240x240 px. Brain.
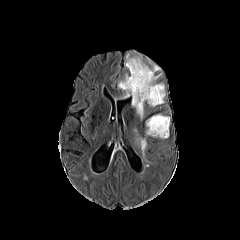
FLAIR MRI.
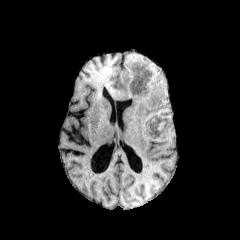
T1-weighted MR.
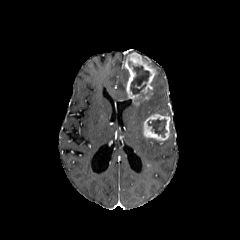
Same slice, post-contrast T1-weighted MR.
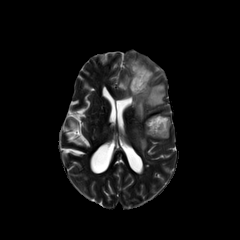
T2-weighted MR image.
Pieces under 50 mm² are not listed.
enhancing tumor: l=125, t=53, r=156, b=104; l=143, t=114, r=170, b=140 | peritumoral edema: l=138, t=138, r=146, b=154; l=132, t=73, r=165, b=119; l=118, t=73, r=128, b=98 | necrotic tumor core: l=147, t=119, r=166, b=137; l=128, t=61, r=149, b=94